FLAIR magnetic resonance.
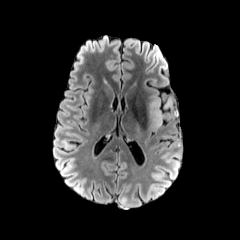
T1-weighted MRI.
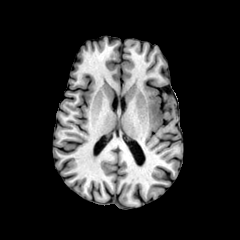
Post-contrast T1-weighted MR.
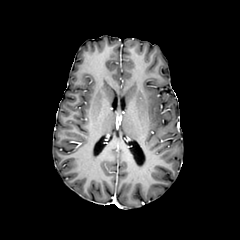
T2-weighted MR.
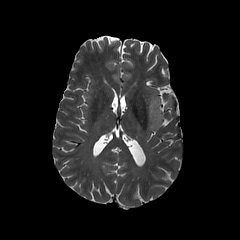
Axial view | 240x240
peritumoral edema: box=[150, 99, 162, 127]